Brain. Axial slice. Slice index 55.
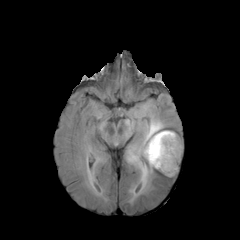
FLAIR MR image.
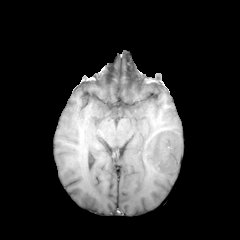
T1-weighted MR.
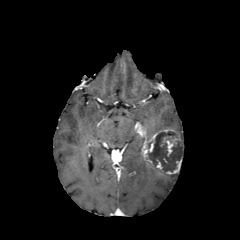
Post-contrast T1-weighted MR image.
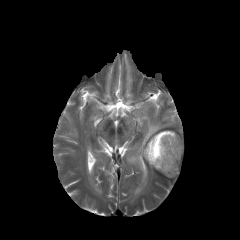
T2-weighted MRI.
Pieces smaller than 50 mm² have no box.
The 3 largest peritumoral edema regions appear at x1=126, y1=116, x2=175, y2=202; x1=88, y1=172, x2=93, y2=185; x1=136, y1=105, x2=148, y2=120. The largest necrotic tumor core region is bounded by x1=147, y1=131, x2=183, y2=172. The largest enhancing tumor region is at x1=141, y1=129, x2=184, y2=174.